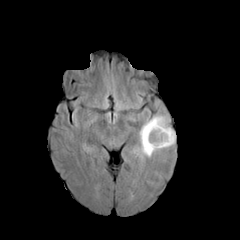
FLAIR MRI.
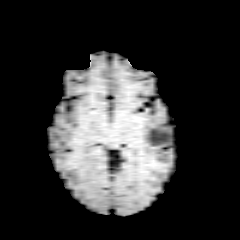
Same slice, T1-weighted MR image.
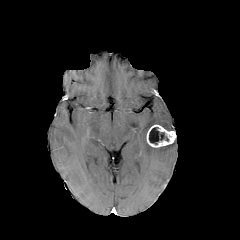
Same slice, post-contrast T1-weighted MR image.
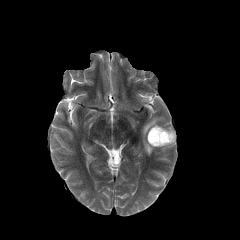
T2-weighted MR.
Axial plane.
{"necrotic_tumor_core": ["149,127,168,144"], "enhancing_tumor": ["146,124,176,147"], "peritumoral_edema": ["140,116,174,156"]}